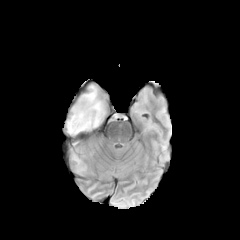
FLAIR magnetic resonance.
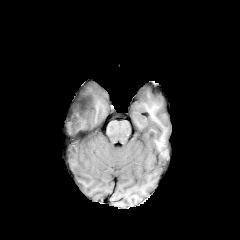
T1-weighted magnetic resonance.
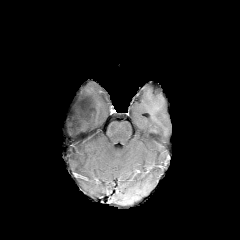
Post-contrast T1-weighted magnetic resonance.
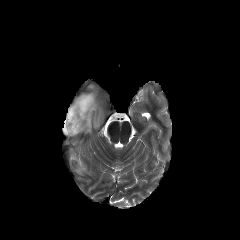
T2-weighted MRI.
Axial plane
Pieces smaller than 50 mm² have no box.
- peritumoral edema: x1=63, y1=80, x2=109, y2=135; x1=70, y1=147, x2=86, y2=174